FLAIR MR image.
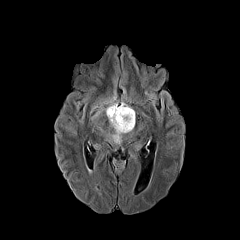
T1-weighted MRI.
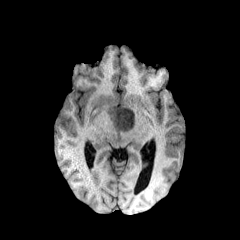
Post-contrast T1-weighted MR.
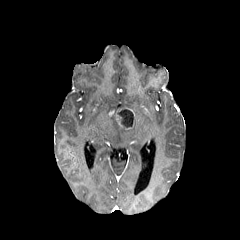
T2-weighted magnetic resonance.
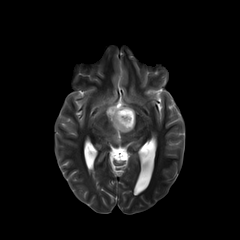
240x240 px, Head
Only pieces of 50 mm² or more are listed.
Annotated regions:
* necrotic tumor core: box=[117, 109, 133, 127]
* enhancing tumor: box=[109, 109, 132, 129]; box=[116, 107, 134, 126]
* peritumoral edema: box=[91, 91, 134, 144]